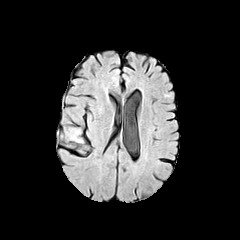
FLAIR MR image.
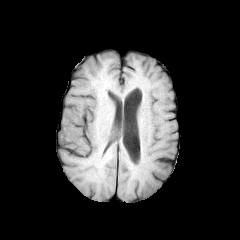
Same slice, T1-weighted MR image.
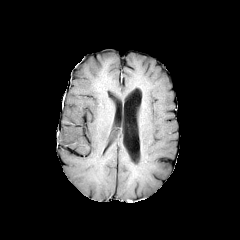
Post-contrast T1-weighted MR image.
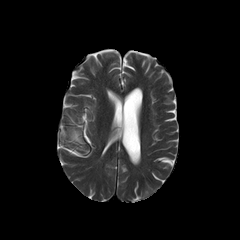
T2-weighted MRI.
Image size 240x240; Head
<segmentation>
  <peritumoral_edema>region(67, 129, 82, 143)</peritumoral_edema>
</segmentation>